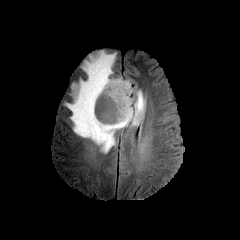
FLAIR MRI.
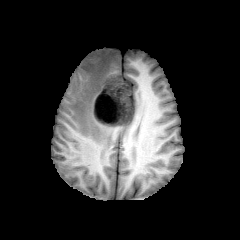
Same slice, T1-weighted MR image.
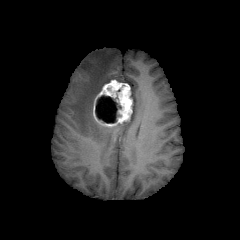
Post-contrast T1-weighted MR.
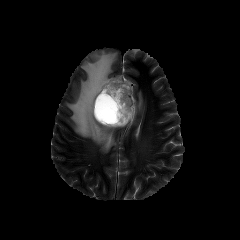
T2-weighted MRI.
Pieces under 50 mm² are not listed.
{"peritumoral_edema": ["bbox=[65, 50, 145, 152]"], "enhancing_tumor": ["bbox=[93, 79, 132, 127]"], "necrotic_tumor_core": ["bbox=[95, 95, 121, 123]"]}